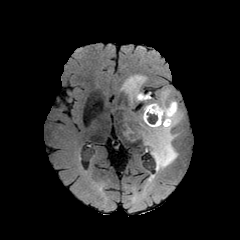
FLAIR MRI.
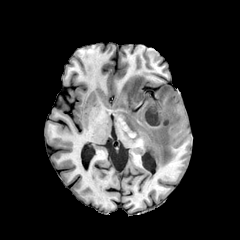
T1-weighted MR.
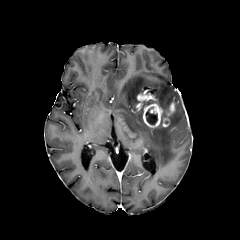
Post-contrast T1-weighted magnetic resonance.
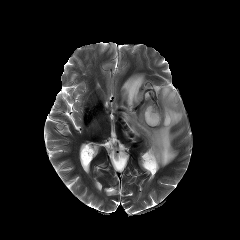
Same slice, T2-weighted MR image.
Axial slice. Brain.
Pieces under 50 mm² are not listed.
The 3 largest peritumoral edema regions are bounded by [124,126,135,139], [121,74,145,104], [140,86,182,171]. The largest necrotic tumor core region is located at [146,107,157,124]. 3 enhancing tumor regions are bounded by [137,93,152,101], [163,102,174,126], [143,103,163,127].